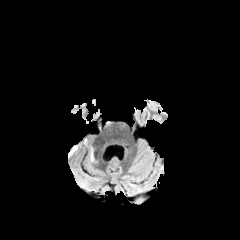
FLAIR magnetic resonance.
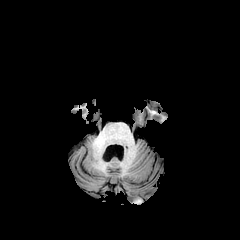
T1-weighted MR image.
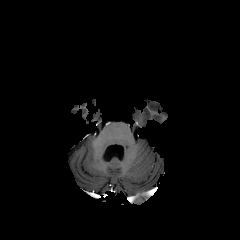
Same slice, post-contrast T1-weighted MRI.
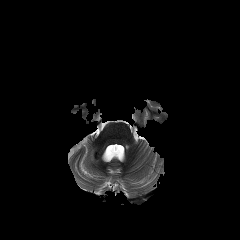
T2-weighted MR image.
Axial view, Head
The peritumoral edema lies within 90:146:98:163.